FLAIR MRI.
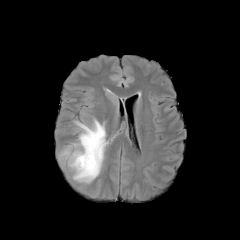
T1-weighted MRI.
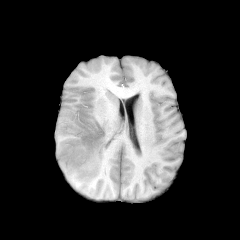
Post-contrast T1-weighted MRI.
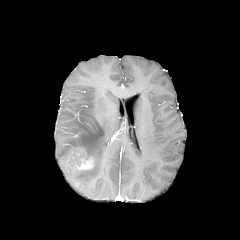
T2-weighted MR.
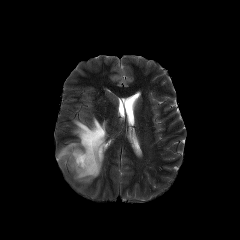
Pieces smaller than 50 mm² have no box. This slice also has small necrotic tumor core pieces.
peritumoral edema: left=58, top=118, right=107, bottom=183
enhancing tumor: left=67, top=149, right=93, bottom=170